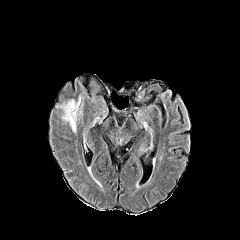
FLAIR magnetic resonance.
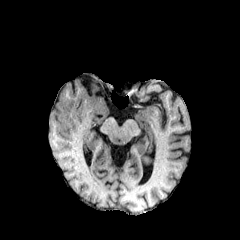
Same slice, T1-weighted MRI.
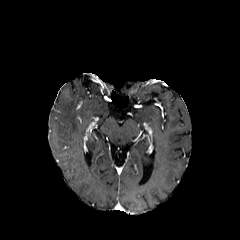
Post-contrast T1-weighted MRI of the same slice.
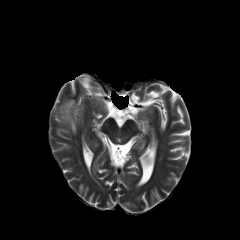
T2-weighted MR image.
Axial view | Head
<segmentation>
  <peritumoral_edema>[60, 97, 82, 133]</peritumoral_edema>
</segmentation>